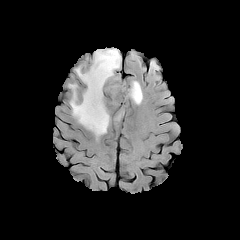
FLAIR MR image.
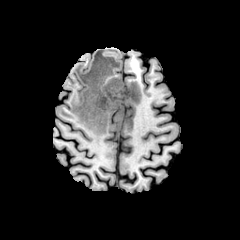
T1-weighted MR image.
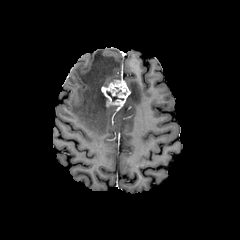
Post-contrast T1-weighted MR image of the same slice.
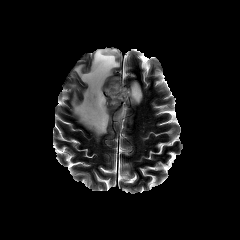
T2-weighted MR.
Axial view; Image size 240x240
enhancing tumor: 101:80:130:109
peritumoral edema: 116:109:124:120, 128:81:142:104, 69:48:121:138
necrotic tumor core: 106:91:123:101